Brain; 240x240 px; Slice index 76; Axial view
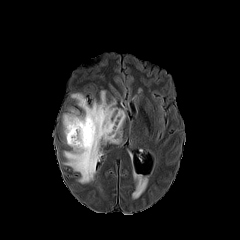
FLAIR MR image.
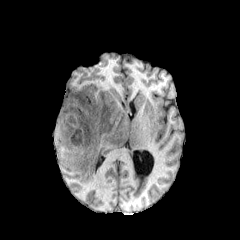
Same slice, T1-weighted magnetic resonance.
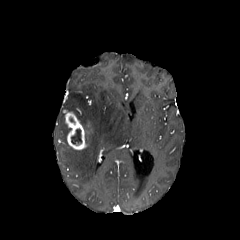
Same slice, post-contrast T1-weighted MRI.
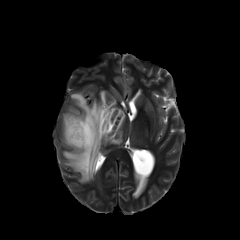
T2-weighted MR.
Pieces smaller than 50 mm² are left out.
enhancing tumor: 65, 112, 87, 149 | peritumoral edema: 132, 167, 147, 199; 62, 114, 68, 144; 63, 90, 125, 184 | necrotic tumor core: 71, 129, 81, 144